Head
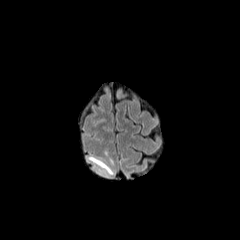
FLAIR MRI.
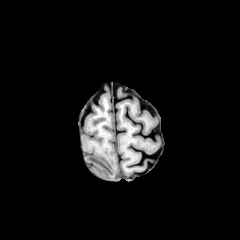
T1-weighted MR image of the same slice.
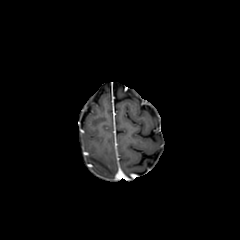
Post-contrast T1-weighted magnetic resonance of the same slice.
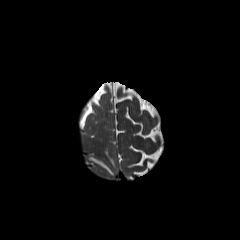
T2-weighted MR.
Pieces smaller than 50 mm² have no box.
The largest peritumoral edema region appears at 88,156,113,174.